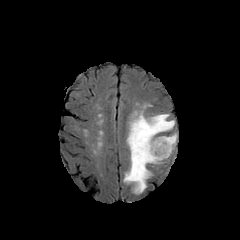
FLAIR MR image.
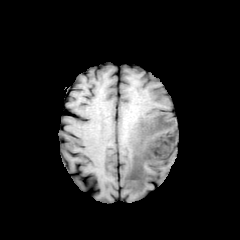
T1-weighted magnetic resonance.
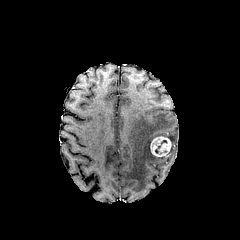
Post-contrast T1-weighted MRI of the same slice.
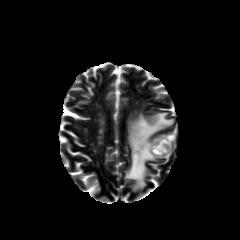
Same slice, T2-weighted MR.
240x240
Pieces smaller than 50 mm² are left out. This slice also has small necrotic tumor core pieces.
- enhancing tumor: <bbox>150, 136, 171, 156</bbox>
- peritumoral edema: <bbox>123, 111, 174, 193</bbox>, <bbox>161, 132, 177, 153</bbox>